Slice index 80 | Axial plane
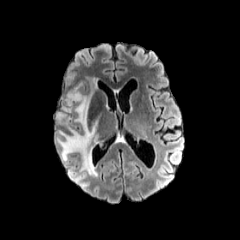
FLAIR MR.
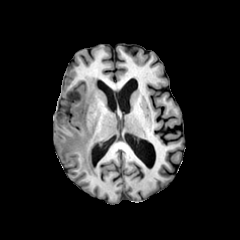
Same slice, T1-weighted MRI.
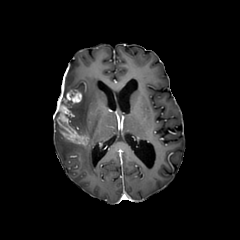
Post-contrast T1-weighted MRI.
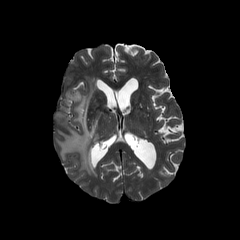
T2-weighted MR.
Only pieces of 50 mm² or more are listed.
<segmentation>
  <peritumoral_edema>[57,78,97,176]</peritumoral_edema>
  <enhancing_tumor>[57,104,88,145], [64,90,81,104]</enhancing_tumor>
</segmentation>